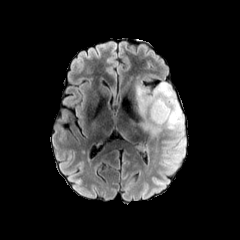
FLAIR MR image.
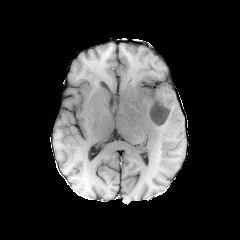
T1-weighted MR image.
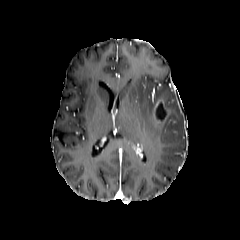
Post-contrast T1-weighted MRI.
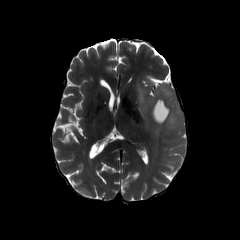
T2-weighted MRI.
Axial slice
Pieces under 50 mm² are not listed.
necrotic tumor core — [155,102,166,121]
peritumoral edema — [134,81,183,135]
enhancing tumor — [152,99,168,123]